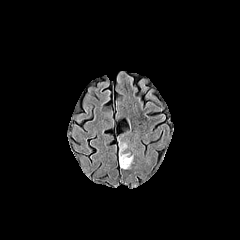
FLAIR MRI.
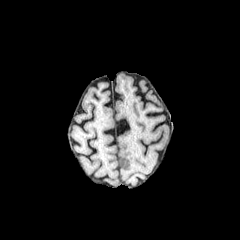
T1-weighted MRI.
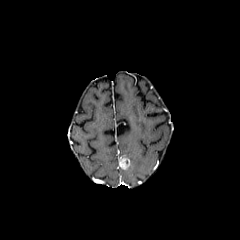
Post-contrast T1-weighted MR image.
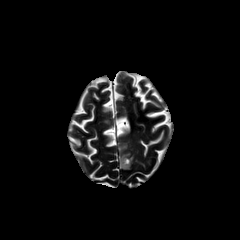
Same slice, T2-weighted MR image.
Head. 240x240.
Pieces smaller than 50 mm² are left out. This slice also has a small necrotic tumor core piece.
enhancing tumor: <box>119,155,130,169</box>
peritumoral edema: <box>119,141,133,162</box>